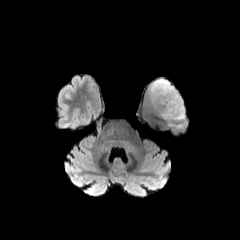
FLAIR magnetic resonance.
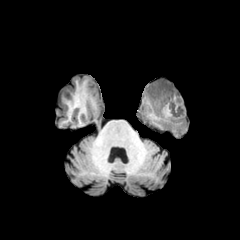
Same slice, T1-weighted MR.
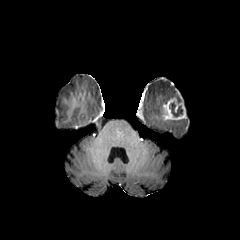
Post-contrast T1-weighted magnetic resonance of the same slice.
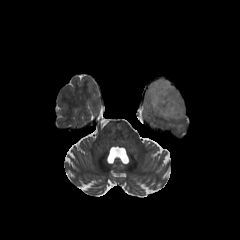
T2-weighted magnetic resonance.
Axial plane.
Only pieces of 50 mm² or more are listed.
The enhancing tumor is located at 157, 96, 185, 119. The necrotic tumor core is at 169, 102, 182, 117. The 2 largest peritumoral edema regions appear at 169, 123, 184, 130; 148, 79, 180, 116.